Axial slice, Slice 66 of 155, 240x240
FLAIR MRI.
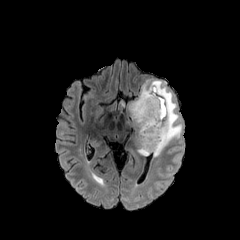
T1-weighted MR image.
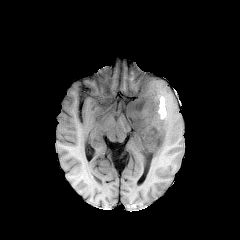
Post-contrast T1-weighted MRI.
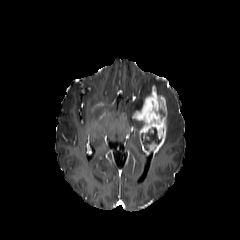
T2-weighted MRI.
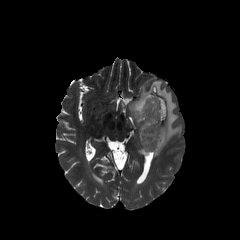
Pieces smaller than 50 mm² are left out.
{"necrotic_tumor_core": ["l=137, t=121, r=143, b=133", "l=141, t=128, r=160, b=150"], "peritumoral_edema": ["l=128, t=80, r=182, b=156"], "enhancing_tumor": ["l=132, t=86, r=167, b=155"]}